Image size 240x240, Axial slice, Slice 97 of 155, Brain
FLAIR MR image.
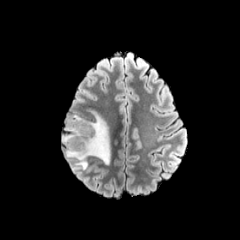
T1-weighted MR.
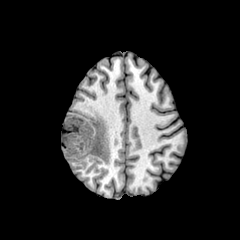
Post-contrast T1-weighted MR image.
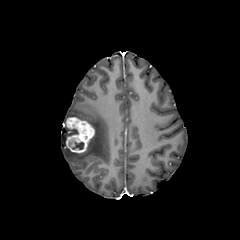
T2-weighted MR.
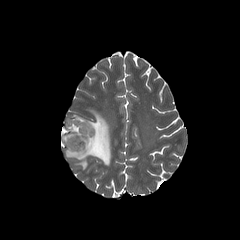
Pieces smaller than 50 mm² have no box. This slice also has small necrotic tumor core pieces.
The 2 largest peritumoral edema regions appear at <box>64,110,110,169</box>, <box>61,127,78,145</box>. The enhancing tumor lies within <box>65,117,94,153</box>.